FLAIR MRI.
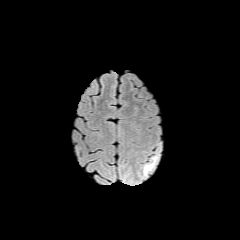
T1-weighted MR image.
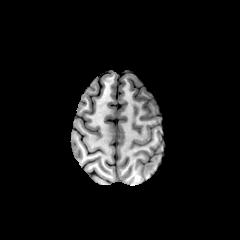
Post-contrast T1-weighted MR image.
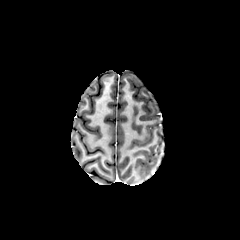
T2-weighted MRI.
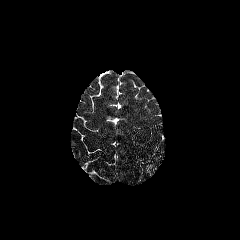
Axial slice | Brain
peritumoral edema at region(143, 157, 157, 175)